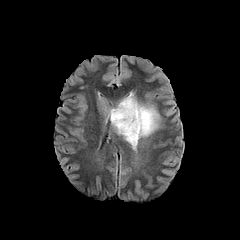
FLAIR MR.
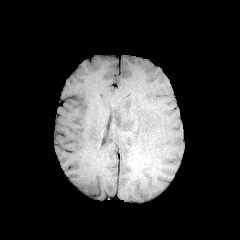
T1-weighted MR image.
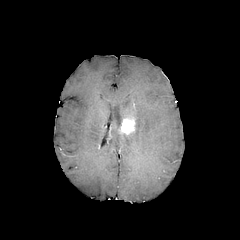
Post-contrast T1-weighted MR.
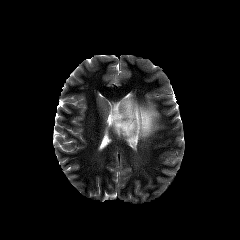
T2-weighted MR image of the same slice.
Head. Image size 240x240.
enhancing tumor: {"x1": 119, "y1": 115, "x2": 135, "y2": 134} | peritumoral edema: {"x1": 109, "y1": 93, "x2": 158, "y2": 149}